FLAIR MR.
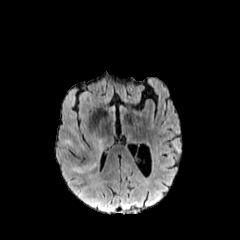
T1-weighted magnetic resonance.
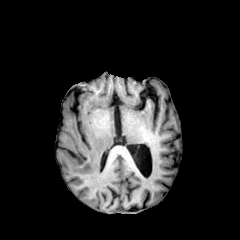
Post-contrast T1-weighted magnetic resonance.
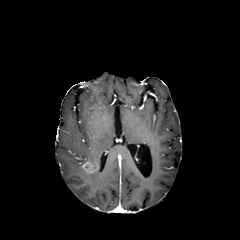
T2-weighted magnetic resonance.
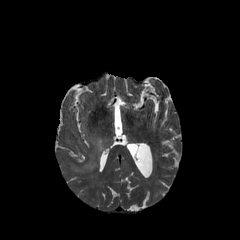
Head
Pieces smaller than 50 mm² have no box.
{
  "peritumoral_edema": [
    "box=[91, 138, 104, 156]",
    "box=[73, 166, 85, 172]"
  ],
  "enhancing_tumor": [
    "box=[82, 161, 94, 172]"
  ]
}